Head, Image width 240 mm, 1.00 mm slice spacing
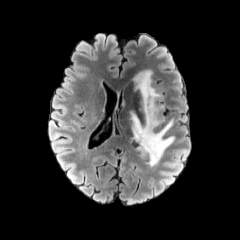
FLAIR MRI.
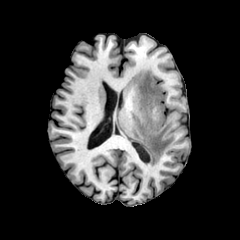
Same slice, T1-weighted MRI.
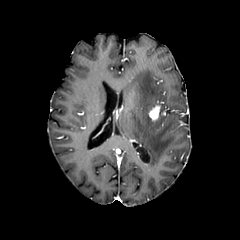
Same slice, post-contrast T1-weighted MRI.
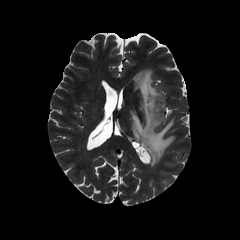
Same slice, T2-weighted magnetic resonance.
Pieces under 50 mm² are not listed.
<segmentation>
  <enhancing_tumor>148,104,160,121</enhancing_tumor>
  <peritumoral_edema>131,69,174,166</peritumoral_edema>
</segmentation>